Image width 240 mm, 1.00 mm slice spacing, Slice index 61, Axial slice
FLAIR MR.
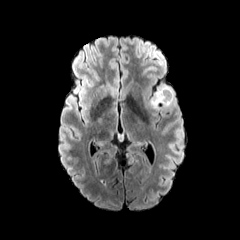
T1-weighted MRI.
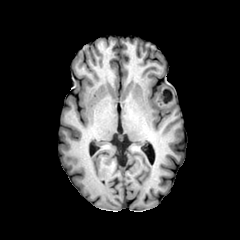
Post-contrast T1-weighted MRI.
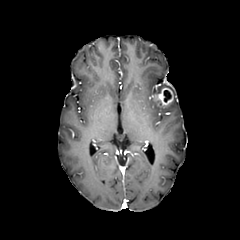
T2-weighted magnetic resonance.
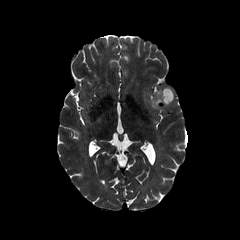
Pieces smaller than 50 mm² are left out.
* peritumoral edema: (151,86,169,107)
* necrotic tumor core: (163,90,171,102)
* enhancing tumor: (155,87,173,105)